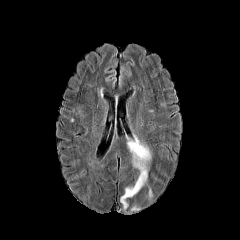
FLAIR magnetic resonance.
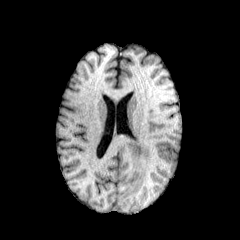
T1-weighted MRI of the same slice.
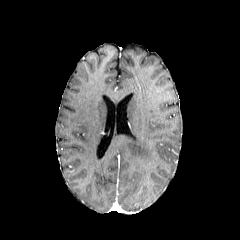
Post-contrast T1-weighted MRI.
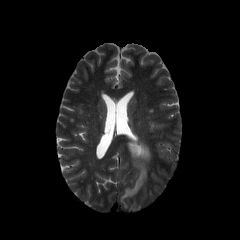
T2-weighted magnetic resonance.
Axial plane | Head
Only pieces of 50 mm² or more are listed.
The 2 largest peritumoral edema regions are bounded by 120, 136, 151, 210; 130, 204, 140, 211.